FLAIR magnetic resonance.
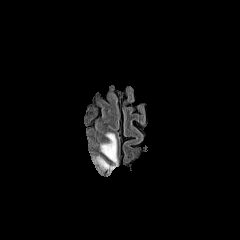
T1-weighted MRI.
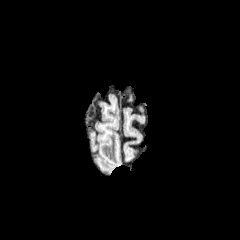
Post-contrast T1-weighted MRI.
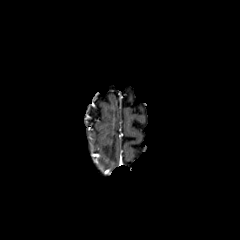
T2-weighted magnetic resonance.
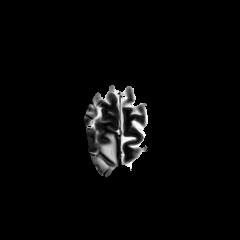
Head, Image size 240x240
peritumoral edema: (98,133,117,169)